Brain, Image covers 240 mm x 240 mm
FLAIR MR.
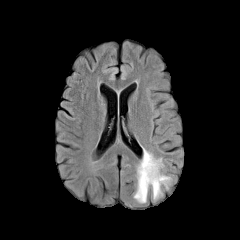
T1-weighted magnetic resonance.
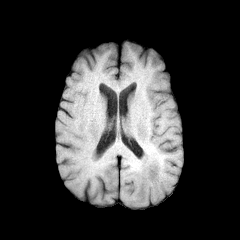
Post-contrast T1-weighted magnetic resonance.
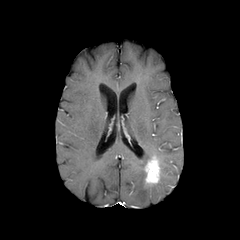
T2-weighted MR image.
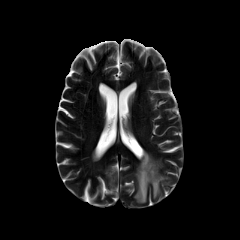
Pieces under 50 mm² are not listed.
peritumoral_edema:
  - (left=134, top=148, right=171, bottom=203)
enhancing_tumor:
  - (left=144, top=156, right=160, bottom=186)